Image covers 240 mm x 240 mm, Slice 121 of 155, Brain
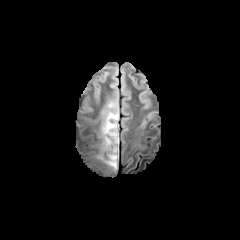
FLAIR MR.
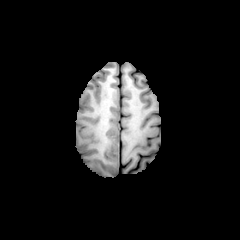
T1-weighted MR image.
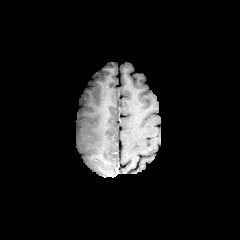
Post-contrast T1-weighted MR image.
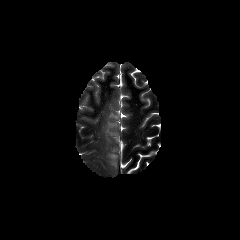
Same slice, T2-weighted MR.
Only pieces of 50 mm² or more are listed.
peritumoral edema at bbox(108, 148, 117, 167); bbox(103, 112, 118, 143)